FLAIR magnetic resonance.
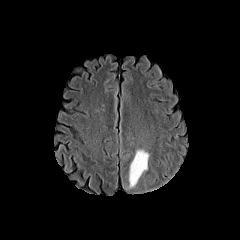
T1-weighted MR.
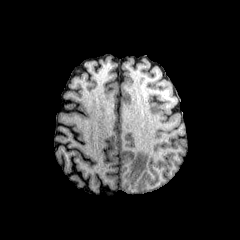
Post-contrast T1-weighted MR.
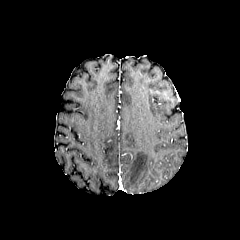
T2-weighted MRI.
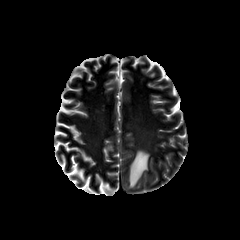
Brain.
- peritumoral edema: (left=127, top=149, right=149, bottom=188)